Image covers 240 mm x 240 mm. Image size 240x240. Axial plane. Head.
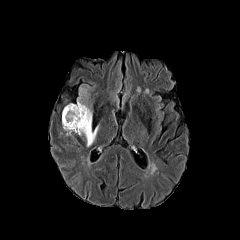
FLAIR MRI.
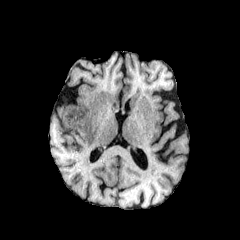
Same slice, T1-weighted MRI.
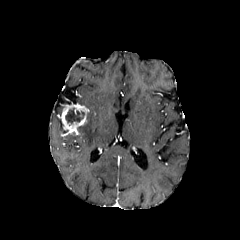
Post-contrast T1-weighted MR.
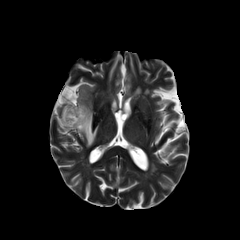
Same slice, T2-weighted MRI.
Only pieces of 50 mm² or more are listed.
<segmentation>
  <peritumoral_edema>x1=77, y1=85, x2=98, y2=147</peritumoral_edema>
  <necrotic_tumor_core>x1=65, y1=108, x2=84, y2=124</necrotic_tumor_core>
  <enhancing_tumor>x1=62, y1=103, x2=88, y2=134</enhancing_tumor>
</segmentation>